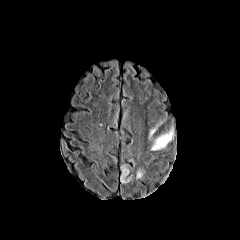
FLAIR MR.
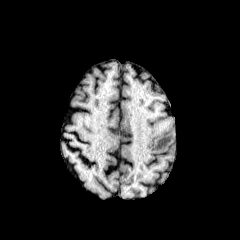
Same slice, T1-weighted MR image.
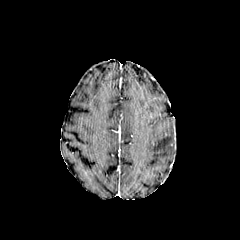
Post-contrast T1-weighted MR.
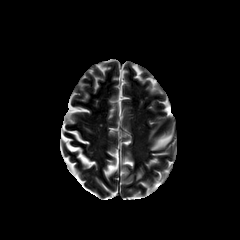
T2-weighted MRI of the same slice.
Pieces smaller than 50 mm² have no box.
The 3 largest peritumoral edema regions are located at rect(151, 128, 173, 150); rect(136, 169, 144, 179); rect(120, 164, 132, 183).